Axial view; Head; Slice 44/155
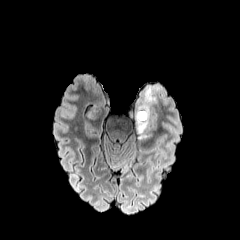
FLAIR MR.
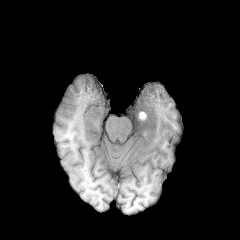
T1-weighted MRI of the same slice.
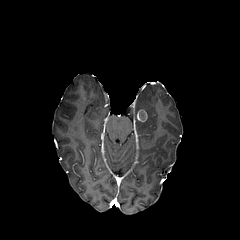
Same slice, post-contrast T1-weighted magnetic resonance.
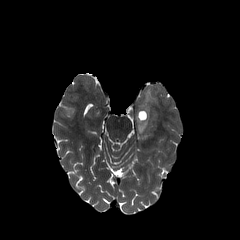
T2-weighted MR.
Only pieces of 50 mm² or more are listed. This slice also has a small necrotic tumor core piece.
{
  "peritumoral_edema": [
    "136:89:155:138"
  ],
  "enhancing_tumor": [
    "137:109:147:122"
  ]
}